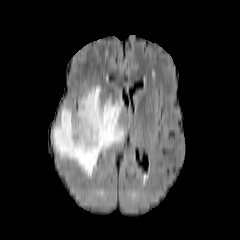
FLAIR MR.
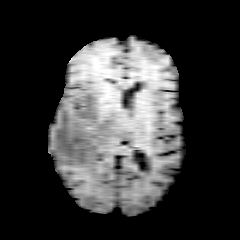
T1-weighted magnetic resonance of the same slice.
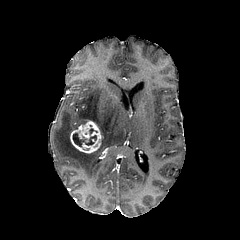
Post-contrast T1-weighted MR image.
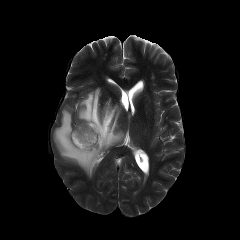
T2-weighted MR.
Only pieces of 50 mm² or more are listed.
The enhancing tumor lies within bbox=[70, 120, 102, 153]. The peritumoral edema is at bbox=[53, 86, 124, 177]. The largest necrotic tumor core region is at bbox=[73, 133, 96, 146].